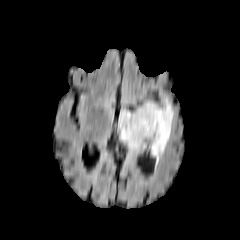
FLAIR MR image.
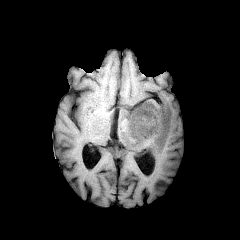
Same slice, T1-weighted magnetic resonance.
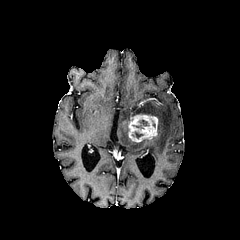
Same slice, post-contrast T1-weighted MR image.
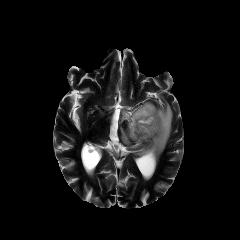
T2-weighted MR image of the same slice.
Brain
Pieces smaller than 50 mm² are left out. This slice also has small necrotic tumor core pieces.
peritumoral_edema:
  - [119, 99, 175, 162]
enhancing_tumor:
  - [128, 113, 158, 142]